Brain, Image width 240 mm, 1.00 mm slice spacing, 240x240 px
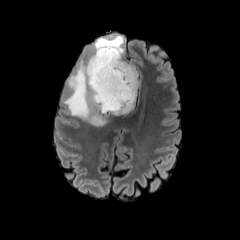
FLAIR MRI.
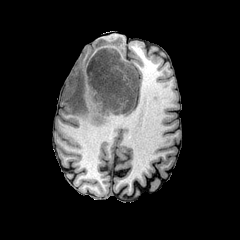
T1-weighted magnetic resonance.
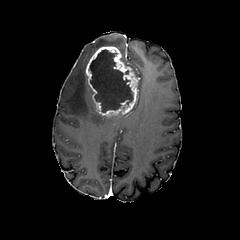
Post-contrast T1-weighted MR image.
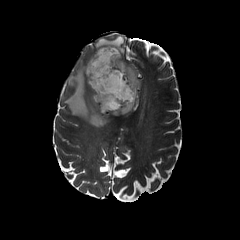
Same slice, T2-weighted magnetic resonance.
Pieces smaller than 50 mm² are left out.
Segmented structures:
• enhancing tumor: bbox(85, 46, 138, 116)
• necrotic tumor core: bbox(88, 49, 133, 113)
• peritumoral edema: bbox(124, 62, 138, 77); bbox(63, 35, 124, 126)